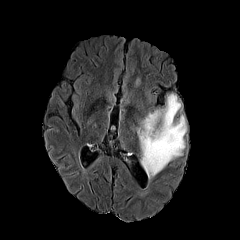
FLAIR MR image.
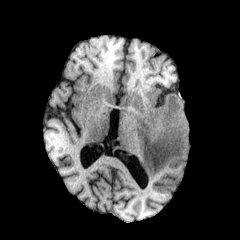
T1-weighted magnetic resonance.
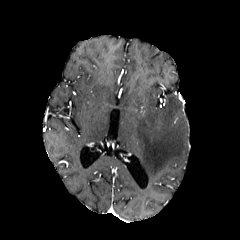
Post-contrast T1-weighted MR image.
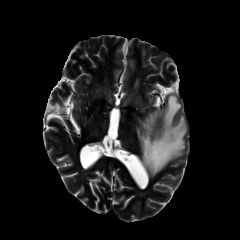
T2-weighted MR image.
Brain | Axial plane
peritumoral edema: <bbox>137, 94, 186, 179</bbox>